Slice 71 of 155
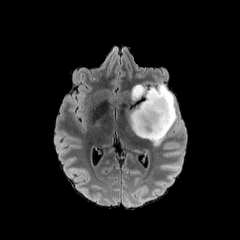
FLAIR MRI.
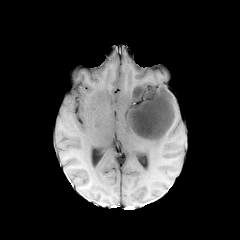
T1-weighted MR of the same slice.
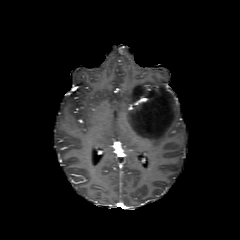
Same slice, post-contrast T1-weighted MRI.
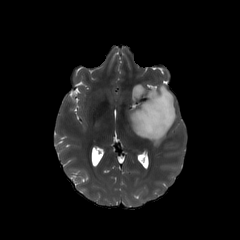
T2-weighted MR.
Annotated regions:
- peritumoral edema: box(128, 84, 176, 145)